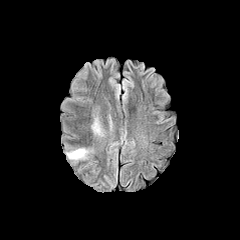
FLAIR magnetic resonance.
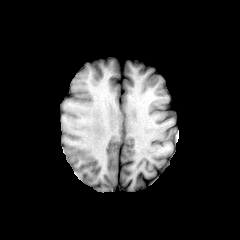
T1-weighted magnetic resonance of the same slice.
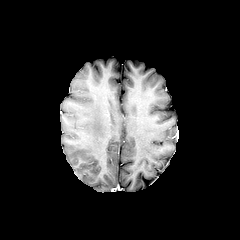
Post-contrast T1-weighted MRI of the same slice.
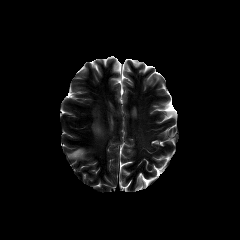
Same slice, T2-weighted MR.
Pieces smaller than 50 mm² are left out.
The largest peritumoral edema region lies within <bbox>67, 149, 85, 158</bbox>.